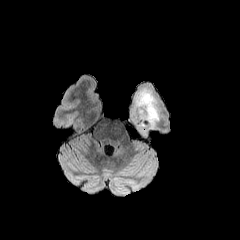
FLAIR magnetic resonance.
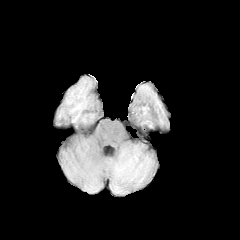
Same slice, T1-weighted MR.
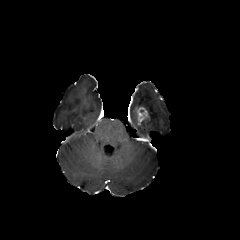
Post-contrast T1-weighted MR image.
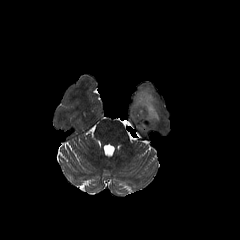
T2-weighted MR image.
Axial plane
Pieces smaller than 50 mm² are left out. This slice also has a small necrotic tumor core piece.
The largest peritumoral edema region lies within (left=134, top=88, right=159, bottom=127). The enhancing tumor is bounded by (left=135, top=106, right=150, bottom=123).